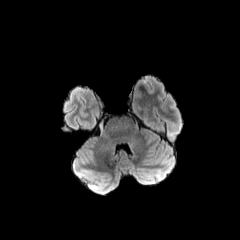
FLAIR MRI.
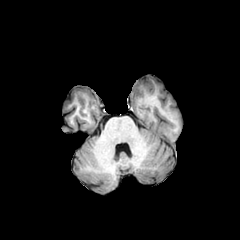
Same slice, T1-weighted MR.
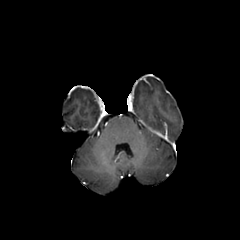
Same slice, post-contrast T1-weighted MR image.
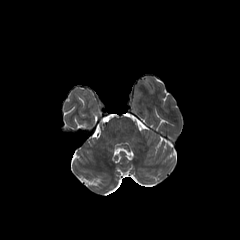
Same slice, T2-weighted MRI.
Image size 240x240, Axial view, Brain
The peritumoral edema is at 135:77:153:97. The enhancing tumor is at 143:79:152:90.